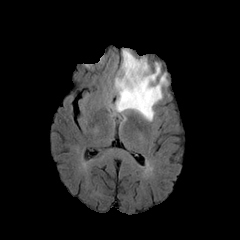
FLAIR MR image.
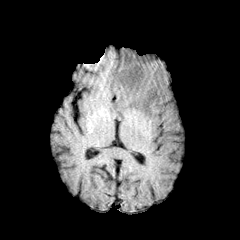
T1-weighted MR of the same slice.
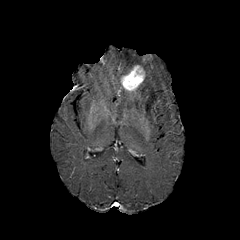
Post-contrast T1-weighted MR of the same slice.
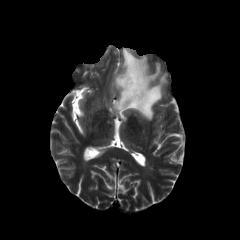
T2-weighted MR of the same slice.
enhancing tumor: bbox=[120, 65, 145, 96] | peritumoral edema: bbox=[112, 49, 167, 120]